Image covers 240 mm x 240 mm. Image size 240x240.
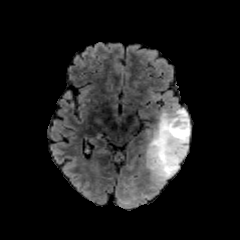
FLAIR MRI.
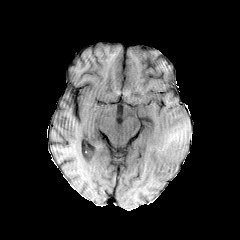
Same slice, T1-weighted MR image.
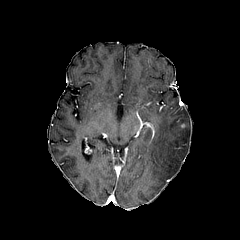
Post-contrast T1-weighted MR image.
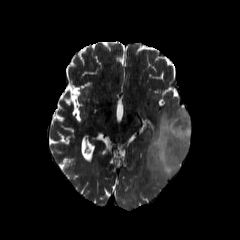
T2-weighted MRI.
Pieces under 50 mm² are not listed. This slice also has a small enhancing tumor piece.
The peritumoral edema is bounded by bbox=[146, 107, 190, 181].